Image width 240 mm, 1.00 mm slice spacing, 240x240 px
FLAIR MRI.
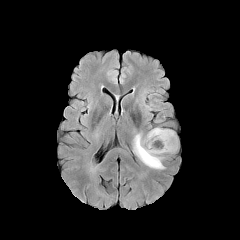
T1-weighted magnetic resonance.
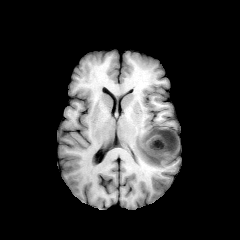
Post-contrast T1-weighted magnetic resonance.
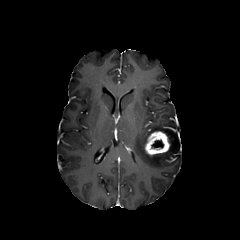
T2-weighted magnetic resonance.
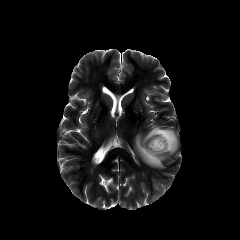
necrotic tumor core: 152,140,163,147 | enhancing tumor: 145,131,170,155 | peritumoral edema: 133,127,178,169